FLAIR magnetic resonance.
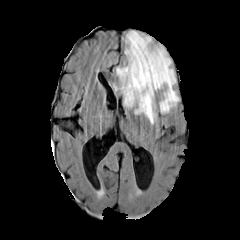
T1-weighted MR image.
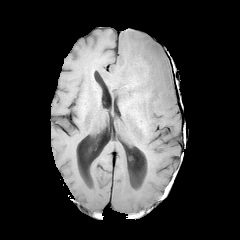
Post-contrast T1-weighted MR image.
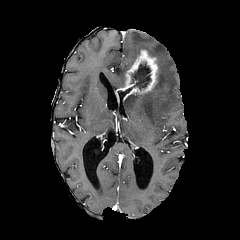
T2-weighted MR image.
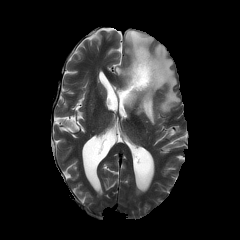
Brain
Annotated regions:
• peritumoral edema: (113,30,178,124)
• necrotic tumor core: (131,63,150,89)
• enhancing tumor: (117,49,158,97)